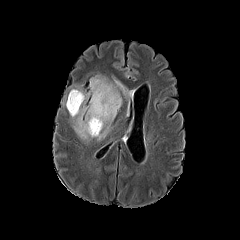
FLAIR MRI.
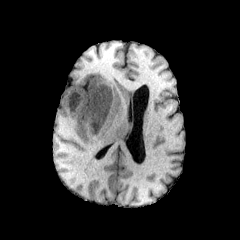
Same slice, T1-weighted MR.
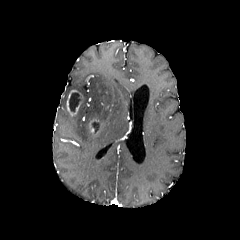
Post-contrast T1-weighted MR image.
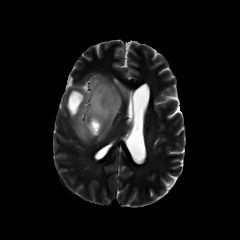
T2-weighted magnetic resonance.
240x240, Brain
enhancing tumor: bounding box (x1=88, y1=118, x2=101, y2=135), (x1=66, y1=90, x2=83, y2=116)
necrotic tumor core: bounding box (x1=69, y1=92, x2=80, y2=111), (x1=92, y1=122, x2=99, y2=132)
peritumoral edema: bounding box (x1=71, y1=75, x2=128, y2=140)